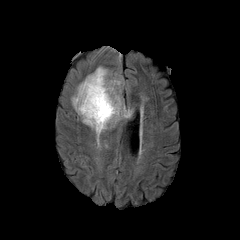
FLAIR MR image.
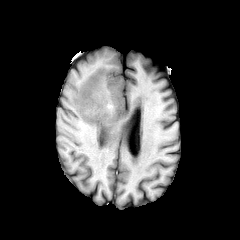
T1-weighted magnetic resonance.
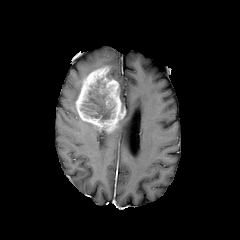
Post-contrast T1-weighted MR.
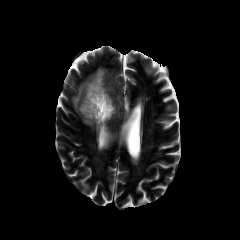
T2-weighted MRI of the same slice.
Head, Axial view
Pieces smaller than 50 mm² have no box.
<segmentation>
  <peritumoral_edema>71 83 81 111, 124 109 131 118, 82 121 100 134</peritumoral_edema>
  <enhancing_tumor>75 67 125 133</enhancing_tumor>
  <necrotic_tumor_core>81 80 113 121</necrotic_tumor_core>
</segmentation>